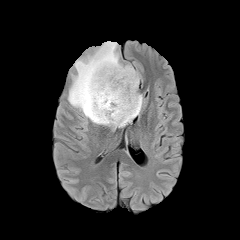
FLAIR MR image.
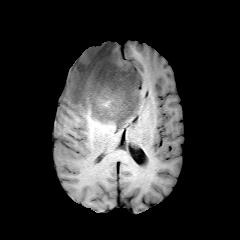
T1-weighted MR.
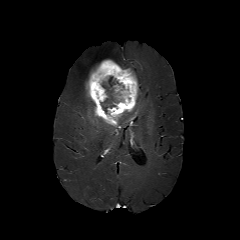
Same slice, post-contrast T1-weighted MR image.
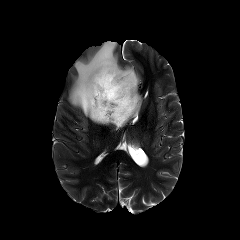
T2-weighted MR image.
240x240 | Axial slice | Head
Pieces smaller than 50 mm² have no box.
enhancing tumor = l=86, t=59, r=138, b=127
peritumoral edema = l=68, t=41, r=139, b=125; l=119, t=93, r=142, b=127
necrotic tumor core = l=102, t=76, r=114, b=103